Head | 240x240 px
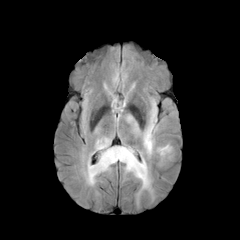
FLAIR MR image.
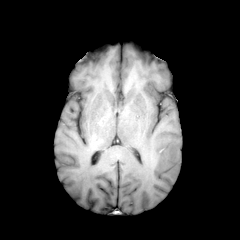
T1-weighted MRI.
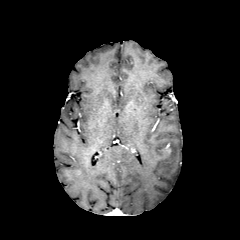
Post-contrast T1-weighted magnetic resonance of the same slice.
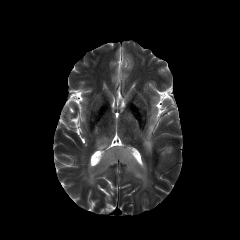
Same slice, T2-weighted MR image.
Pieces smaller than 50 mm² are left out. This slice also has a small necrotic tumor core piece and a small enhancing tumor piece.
peritumoral edema — 143, 108, 155, 155; 86, 138, 151, 191; 157, 146, 173, 161